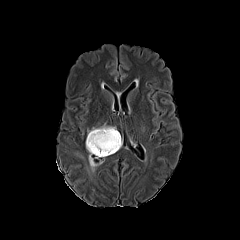
FLAIR MRI.
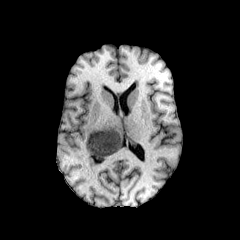
T1-weighted MR image.
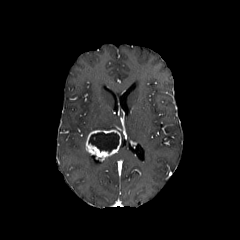
Post-contrast T1-weighted MR image of the same slice.
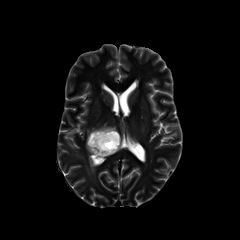
T2-weighted MR.
The enhancing tumor appears at {"x1": 85, "y1": 129, "x2": 121, "y2": 161}. The necrotic tumor core appears at {"x1": 88, "y1": 132, "x2": 119, "y2": 153}. 2 peritumoral edema regions are located at {"x1": 87, "y1": 123, "x2": 115, "y2": 135}, {"x1": 88, "y1": 154, "x2": 98, "y2": 172}.